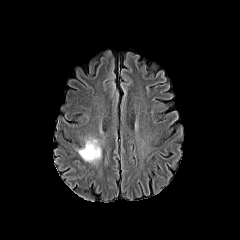
FLAIR MRI.
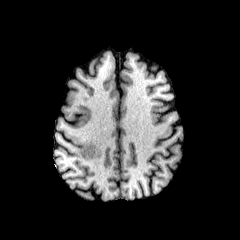
T1-weighted MR image.
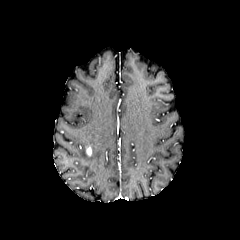
Post-contrast T1-weighted MR image of the same slice.
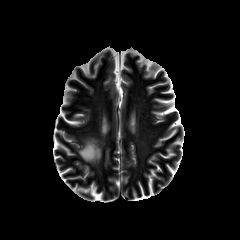
Same slice, T2-weighted MR image.
Axial view
- peritumoral edema: x1=77, y1=137, x2=101, y2=163
- enhancing tumor: x1=86, y1=146, x2=92, y2=156